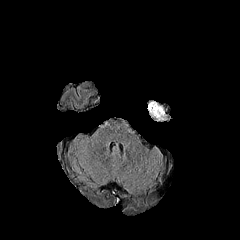
FLAIR MR image.
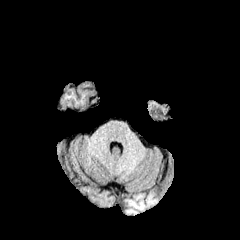
T1-weighted MR image of the same slice.
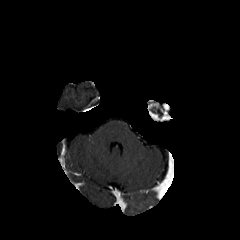
Post-contrast T1-weighted MR.
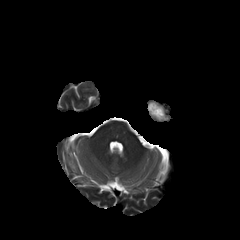
T2-weighted MRI.
Axial plane | Head
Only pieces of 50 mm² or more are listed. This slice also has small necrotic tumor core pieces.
Annotated regions:
• enhancing tumor: [x1=147, y1=101, x2=170, y2=121]